Axial view.
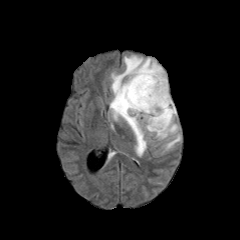
FLAIR MRI.
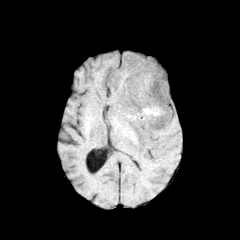
T1-weighted MR image.
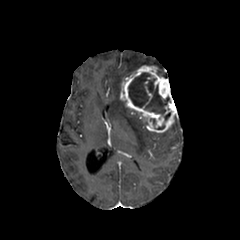
Post-contrast T1-weighted MR.
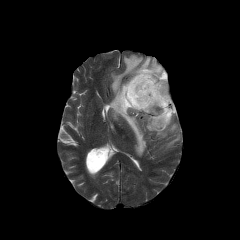
T2-weighted magnetic resonance.
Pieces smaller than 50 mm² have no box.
peritumoral edema: bounding box 110,55,166,156; 148,122,180,150
necrotic tumor core: bounding box 128,72,169,114
enhancing tumor: bounding box 120,65,177,132